FLAIR MR.
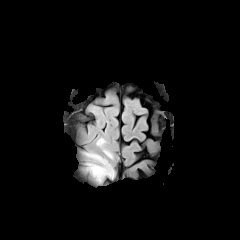
T1-weighted MRI.
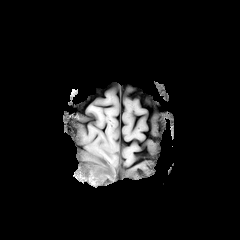
Post-contrast T1-weighted MRI.
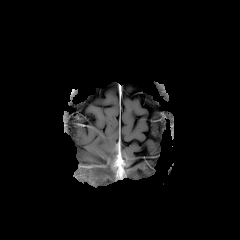
T2-weighted MRI.
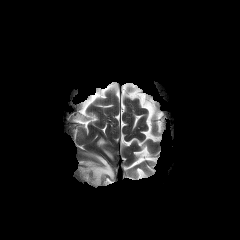
Axial plane
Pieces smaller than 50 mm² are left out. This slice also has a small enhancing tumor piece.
Annotated regions:
- peritumoral edema: (x1=85, y1=153, x2=114, y2=182), (x1=97, y1=138, x2=105, y2=146), (x1=103, y1=149, x2=112, y2=158)